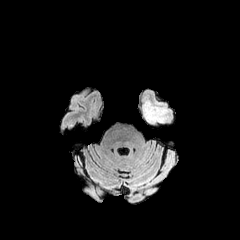
FLAIR magnetic resonance.
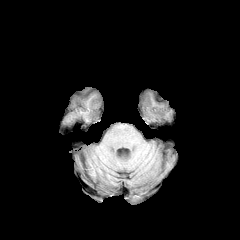
T1-weighted magnetic resonance.
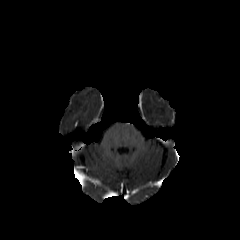
Same slice, post-contrast T1-weighted magnetic resonance.
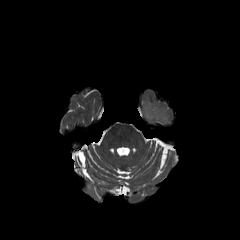
T2-weighted MR image.
240x240 px. Brain.
<segmentation>
  <peritumoral_edema><box>143,101,165,122</box></peritumoral_edema>
</segmentation>